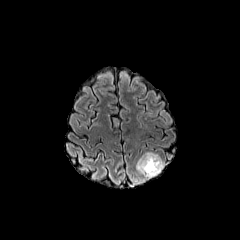
FLAIR MR image.
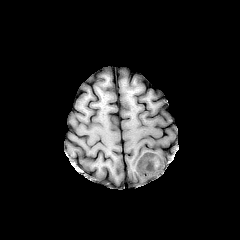
Same slice, T1-weighted magnetic resonance.
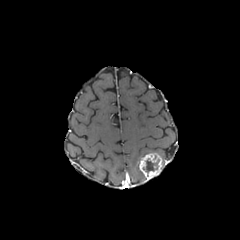
Post-contrast T1-weighted magnetic resonance.
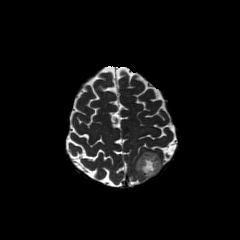
Same slice, T2-weighted MRI.
Brain; 240x240 px
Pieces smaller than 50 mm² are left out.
Segmented structures:
• necrotic tumor core: 143:158:159:172
• peritumoral edema: 136:152:153:180
• enhancing tumor: 138:153:162:179